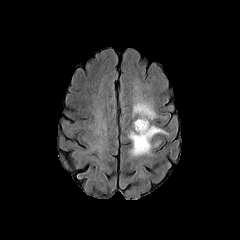
FLAIR MR.
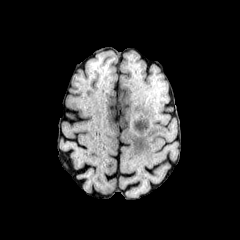
T1-weighted MR of the same slice.
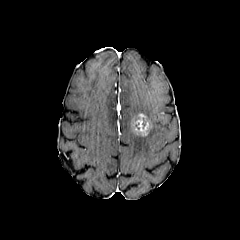
Same slice, post-contrast T1-weighted MR image.
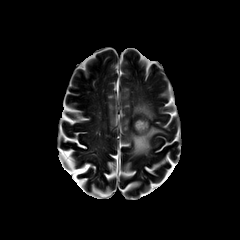
T2-weighted MRI of the same slice.
Brain. Axial plane.
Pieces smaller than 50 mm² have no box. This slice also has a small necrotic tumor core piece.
enhancing tumor at 132 113 151 136
peritumoral edema at 133 97 155 120, 128 125 166 156